Brain. Slice 98 of 155.
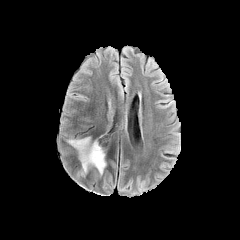
FLAIR magnetic resonance.
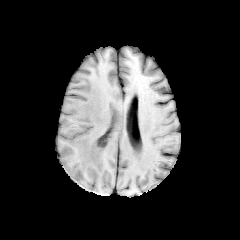
T1-weighted MR.
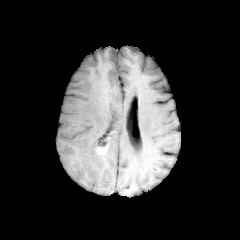
Post-contrast T1-weighted MR.
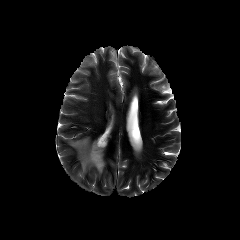
T2-weighted MR image.
<segmentation>
  <peritumoral_edema>[68,136,106,176]</peritumoral_edema>
  <enhancing_tumor>[94,146,108,154]</enhancing_tumor>
</segmentation>